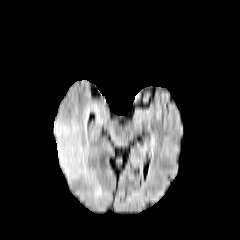
FLAIR magnetic resonance.
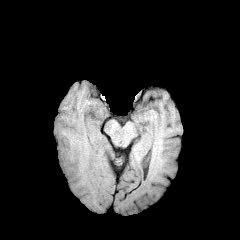
T1-weighted magnetic resonance.
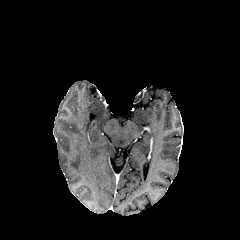
Post-contrast T1-weighted MRI.
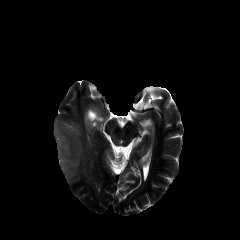
Same slice, T2-weighted MRI.
Axial plane.
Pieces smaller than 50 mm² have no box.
peritumoral edema at [54,104,103,197]